FLAIR MRI.
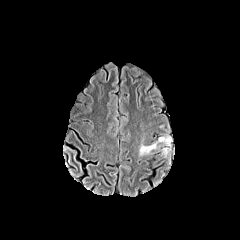
T1-weighted MRI.
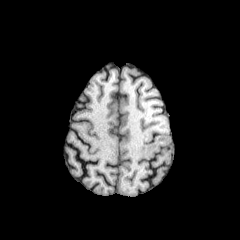
Post-contrast T1-weighted magnetic resonance.
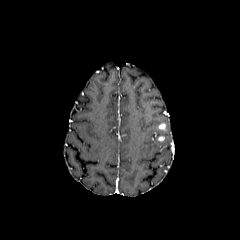
T2-weighted magnetic resonance.
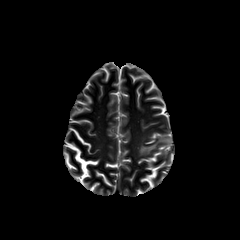
Brain, Axial plane
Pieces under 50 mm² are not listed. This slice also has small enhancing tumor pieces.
Annotated regions:
* peritumoral edema: 140:139:159:154, 161:136:171:145